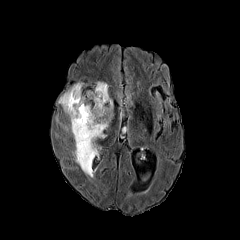
FLAIR MR image.
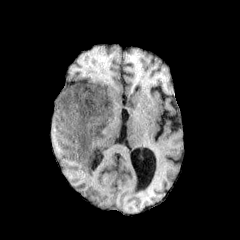
T1-weighted MR image.
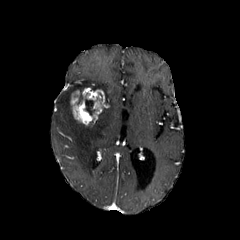
Post-contrast T1-weighted MRI.
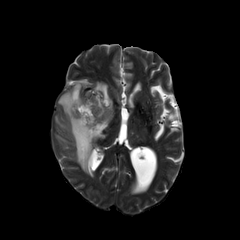
T2-weighted MRI.
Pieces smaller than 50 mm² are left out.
Findings:
• peritumoral edema: (left=56, top=81, right=112, bottom=177)
• necrotic tumor core: (left=85, top=99, right=95, bottom=115)
• enhancing tumor: (left=70, top=89, right=107, bottom=125)